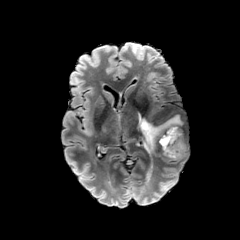
FLAIR MR.
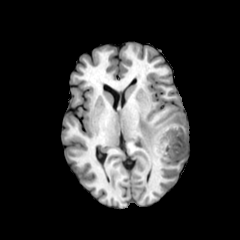
T1-weighted MRI of the same slice.
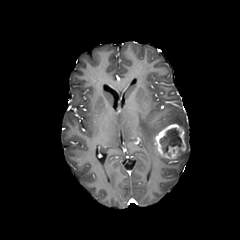
Post-contrast T1-weighted MR of the same slice.
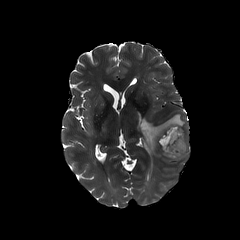
T2-weighted magnetic resonance.
Axial plane.
{
  "necrotic_tumor_core": [
    "x1=160 y1=128 x2=181 y2=155"
  ],
  "peritumoral_edema": [
    "x1=174 y1=137 x2=188 y2=160",
    "x1=136 y1=111 x2=184 y2=152"
  ],
  "enhancing_tumor": [
    "x1=155 y1=124 x2=186 y2=160"
  ]
}